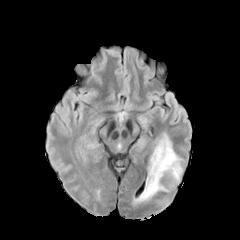
FLAIR magnetic resonance.
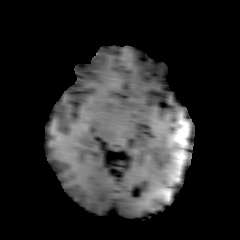
T1-weighted MR image of the same slice.
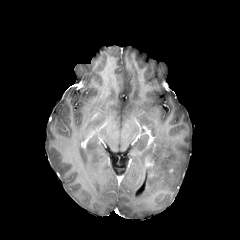
Post-contrast T1-weighted MR.
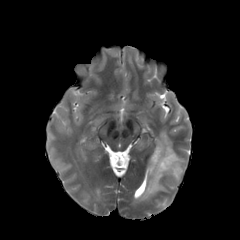
T2-weighted MRI.
Head.
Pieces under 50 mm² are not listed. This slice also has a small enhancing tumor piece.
{
  "peritumoral_edema": [
    "139:132:182:200"
  ]
}